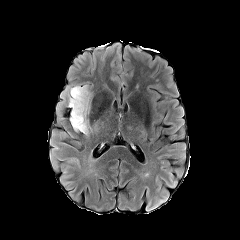
FLAIR MR.
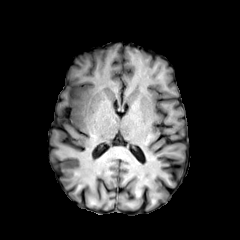
T1-weighted MRI.
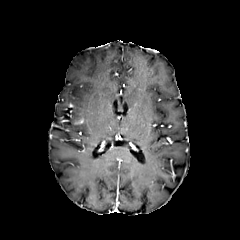
Post-contrast T1-weighted MR image of the same slice.
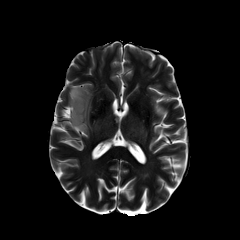
T2-weighted MRI of the same slice.
Image size 240x240, Axial view
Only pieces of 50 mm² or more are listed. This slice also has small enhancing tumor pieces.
The peritumoral edema is at box(68, 84, 91, 134).